FLAIR MRI.
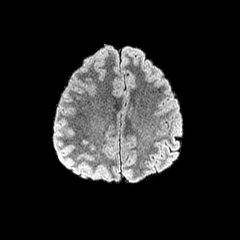
T1-weighted MRI.
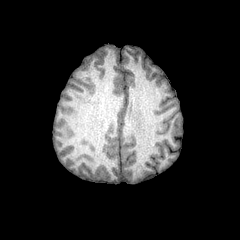
Post-contrast T1-weighted MR.
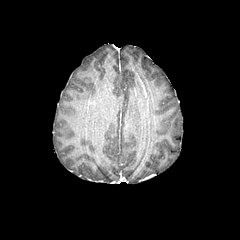
T2-weighted MRI.
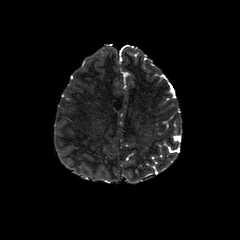
Axial plane
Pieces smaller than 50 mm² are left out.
{"peritumoral_edema": ["left=95, top=47, right=112, bottom=58"]}